FLAIR MRI.
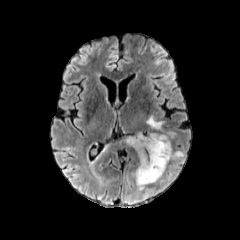
T1-weighted MR.
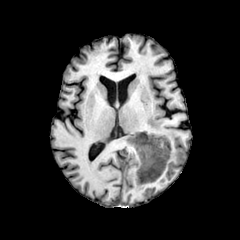
Post-contrast T1-weighted MR image.
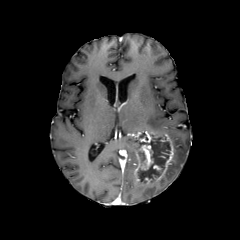
T2-weighted MR image.
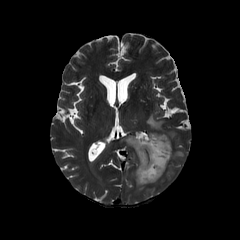
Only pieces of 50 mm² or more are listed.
The 3 largest peritumoral edema regions are located at {"x1": 173, "y1": 150, "x2": 185, "y2": 162}, {"x1": 125, "y1": 136, "x2": 135, "y2": 147}, {"x1": 147, "y1": 115, "x2": 164, "y2": 131}. The largest necrotic tumor core region is at {"x1": 137, "y1": 137, "x2": 170, "y2": 182}. The largest enhancing tumor region is bounded by {"x1": 134, "y1": 131, "x2": 174, "y2": 185}.